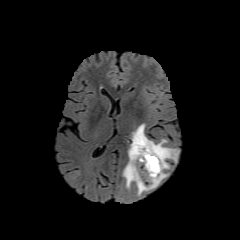
FLAIR MR image.
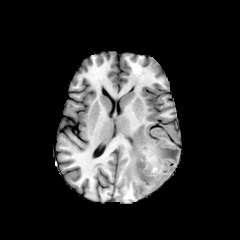
T1-weighted MR image of the same slice.
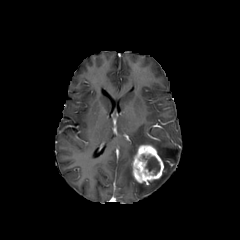
Same slice, post-contrast T1-weighted MR image.
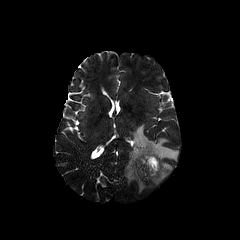
T2-weighted magnetic resonance.
240x240; Brain
The necrotic tumor core lies within 141:155:160:174. The peritumoral edema is at 123:124:178:194. The enhancing tumor is bounded by 132:143:163:185.